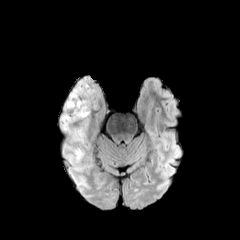
FLAIR MR image.
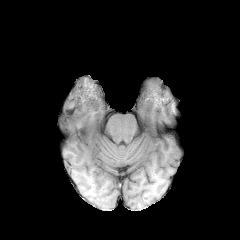
T1-weighted MRI.
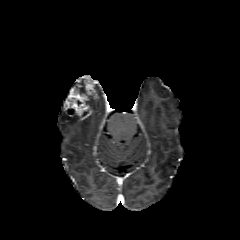
Post-contrast T1-weighted MR image.
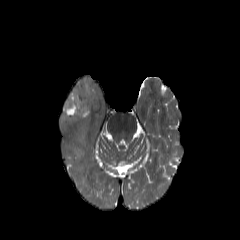
Same slice, T2-weighted MRI.
Axial view. Brain.
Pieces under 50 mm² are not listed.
peritumoral edema = (62,114,79,122)
enhancing tumor = (64,79,95,119)
necrotic tumor core = (78,86,86,94)